FLAIR magnetic resonance.
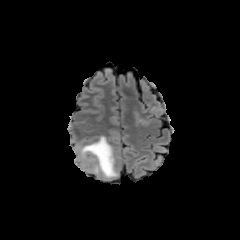
T1-weighted MRI.
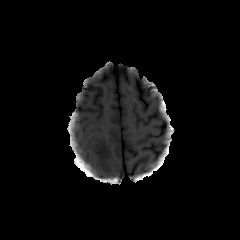
Post-contrast T1-weighted MRI.
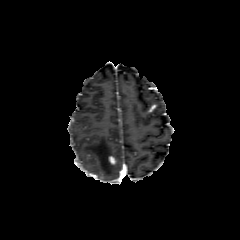
T2-weighted MR image.
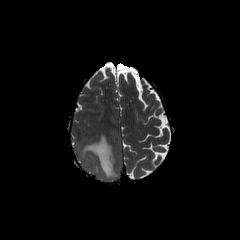
240x240 px | Head | Axial slice
The enhancing tumor is at <bbox>108, 156, 116, 165</bbox>. The peritumoral edema is bounded by <bbox>81, 135, 117, 179</bbox>.